Head. Image size 240x240. Slice 51 of 155.
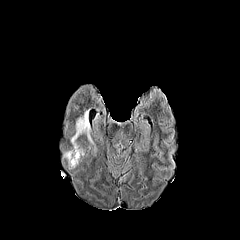
FLAIR MR.
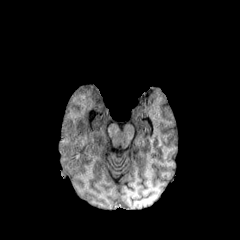
Same slice, T1-weighted MRI.
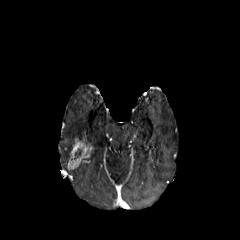
Post-contrast T1-weighted MR.
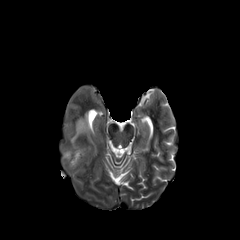
T2-weighted MR.
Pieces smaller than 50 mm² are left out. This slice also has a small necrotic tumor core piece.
peritumoral_edema:
  - (71,111,92,143)
  - (63,150,70,160)
enhancing_tumor:
  - (67,138,92,169)